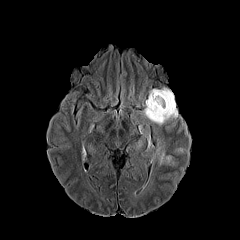
FLAIR MR.
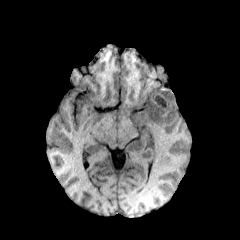
T1-weighted MRI.
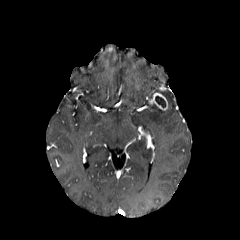
Post-contrast T1-weighted MR.
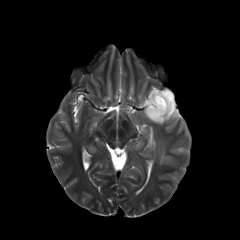
T2-weighted MR of the same slice.
Brain, Axial plane
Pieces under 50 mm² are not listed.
necrotic tumor core at {"x1": 155, "y1": 96, "x2": 165, "y2": 107}
peritumoral edema at {"x1": 143, "y1": 87, "x2": 178, "y2": 124}
enhancing tumor at {"x1": 149, "y1": 93, "x2": 167, "y2": 110}